240x240.
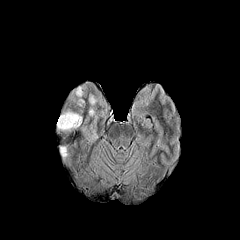
FLAIR magnetic resonance.
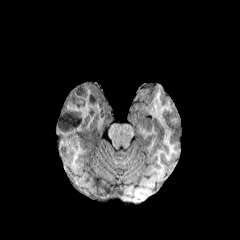
T1-weighted MRI.
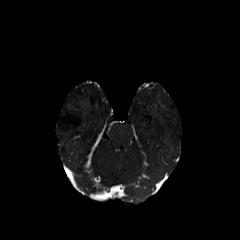
Post-contrast T1-weighted magnetic resonance.
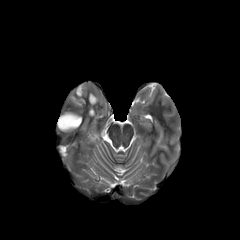
T2-weighted MR image.
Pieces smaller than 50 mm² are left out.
<segmentation>
  <peritumoral_edema>x1=71 y1=86 x2=85 y2=106, x1=89 y1=95 x2=101 y2=105, x1=57 y1=111 x2=82 y2=132</peritumoral_edema>
</segmentation>